FLAIR MRI.
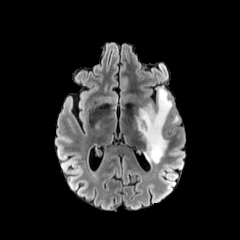
T1-weighted MRI.
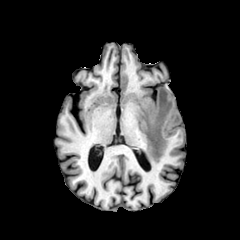
Post-contrast T1-weighted MR image.
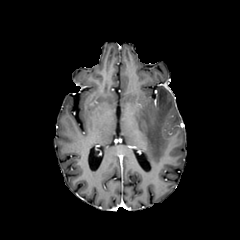
T2-weighted magnetic resonance.
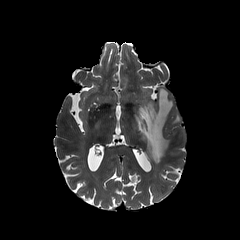
Axial view. Brain.
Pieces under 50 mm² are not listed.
<segmentation>
  <peritumoral_edema>133,87,173,162</peritumoral_edema>
</segmentation>